Head; Image width 240 mm; Image size 240x240; Slice 91 of 155
FLAIR magnetic resonance.
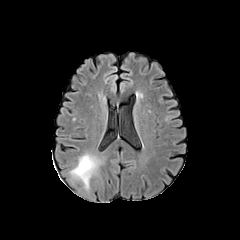
T1-weighted MRI.
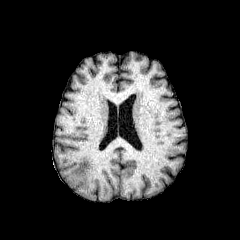
Post-contrast T1-weighted MR.
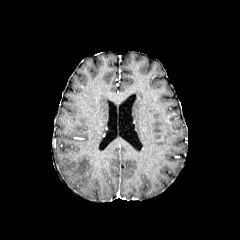
T2-weighted MR.
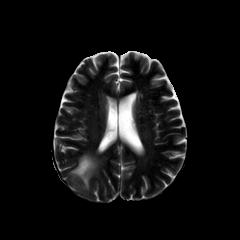
The peritumoral edema lies within <bbox>70, 153, 98, 185</bbox>.